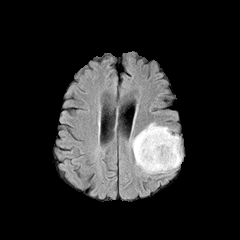
FLAIR MR.
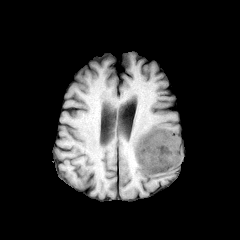
T1-weighted MRI of the same slice.
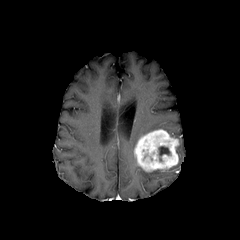
Post-contrast T1-weighted MRI.
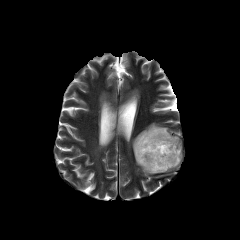
Same slice, T2-weighted MR.
240x240 px; Axial slice
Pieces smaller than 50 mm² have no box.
{"enhancing_tumor": ["left=134, top=129, right=179, bottom=172"], "necrotic_tumor_core": ["left=159, top=146, right=169, bottom=155"], "peritumoral_edema": ["left=131, top=123, right=179, bottom=151", "left=142, top=145, right=182, bottom=173"]}